Slice 72 of 155, Image covers 240 mm x 240 mm, Axial view, 240x240
FLAIR MRI.
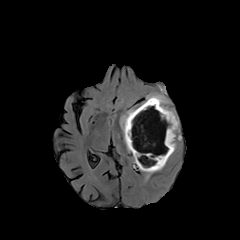
T1-weighted magnetic resonance.
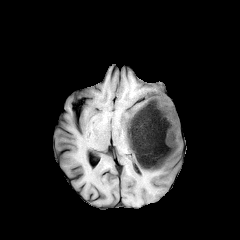
Post-contrast T1-weighted magnetic resonance.
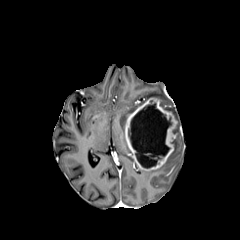
T2-weighted MR image.
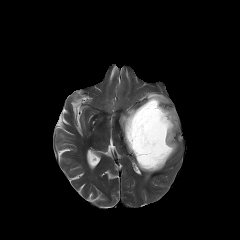
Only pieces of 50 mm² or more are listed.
Annotated regions:
* enhancing tumor: <box>125,97,177,170</box>
* peritumoral edema: <box>146,92,181,140</box>, <box>140,162,166,178</box>, <box>120,108,136,152</box>
* necrotic tumor core: <box>128,100,171,168</box>